Brain. Axial slice. Image width 240 mm. Image size 240x240.
FLAIR MR image.
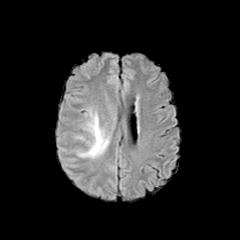
T1-weighted MR.
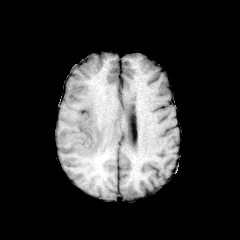
Post-contrast T1-weighted MRI.
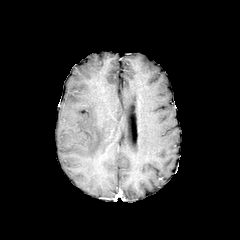
T2-weighted magnetic resonance.
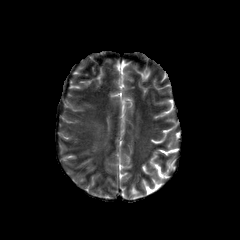
peritumoral edema: bounding box 79:113:108:157